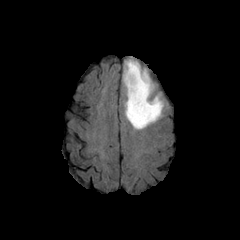
FLAIR MR image.
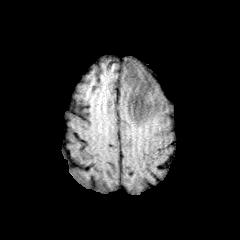
T1-weighted magnetic resonance.
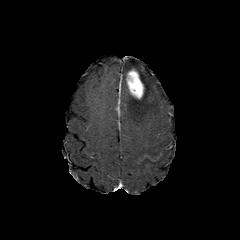
Same slice, post-contrast T1-weighted MRI.
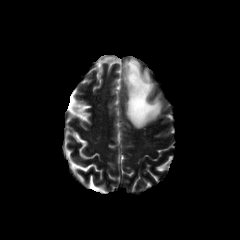
T2-weighted MR image.
Axial plane.
peritumoral_edema:
  - 123 58 163 129
enhancing_tumor:
  - 126 68 144 99